Image size 240x240 | Image width 240 mm
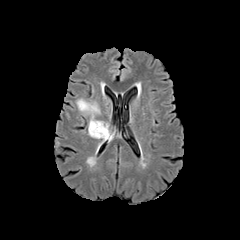
FLAIR MRI.
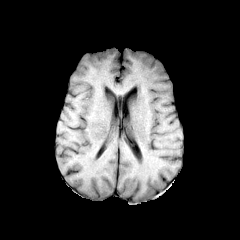
T1-weighted MR.
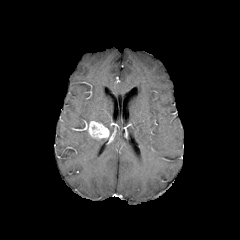
Same slice, post-contrast T1-weighted magnetic resonance.
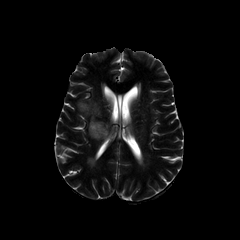
T2-weighted MRI.
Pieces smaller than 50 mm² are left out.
{
  "enhancing_tumor": [
    "l=88, t=121, r=109, b=139"
  ],
  "peritumoral_edema": [
    "l=77, t=99, r=108, b=128"
  ],
  "necrotic_tumor_core": [
    "l=91, t=123, r=99, b=130"
  ]
}